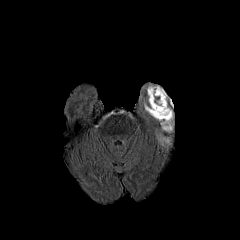
FLAIR MR.
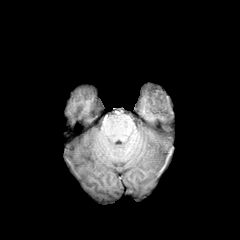
T1-weighted MRI.
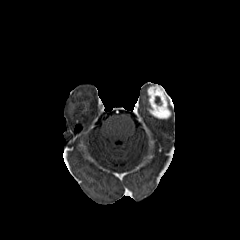
Post-contrast T1-weighted MR image of the same slice.
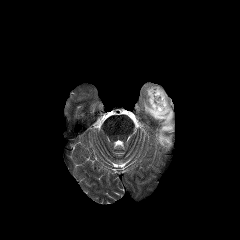
T2-weighted MR image.
Image size 240x240, Head
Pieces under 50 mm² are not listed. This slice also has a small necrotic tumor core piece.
enhancing_tumor:
  - [147,85,171,118]
peritumoral_edema:
  - [158,105,172,131]
  - [158,135,170,146]